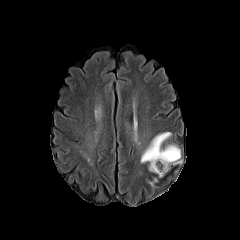
FLAIR MRI.
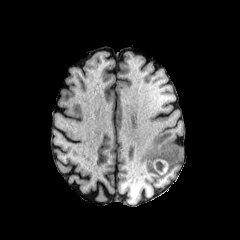
Same slice, T1-weighted MR.
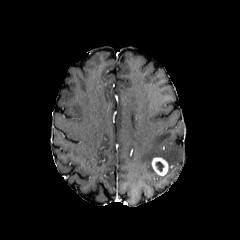
Post-contrast T1-weighted magnetic resonance.
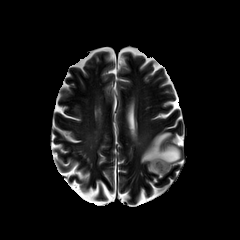
T2-weighted MR of the same slice.
Axial view; Head
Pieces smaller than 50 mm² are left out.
The enhancing tumor appears at x1=151, y1=157, x2=168, y2=175. The necrotic tumor core lies within x1=156, y1=162, x2=163, y2=171. The largest peritumoral edema region lies within x1=140, y1=132, x2=182, y2=172.